240x240 px. Axial view. Head.
FLAIR MRI.
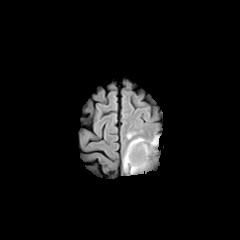
T1-weighted MR.
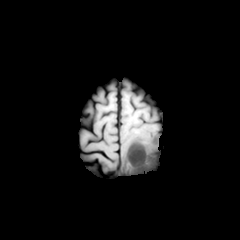
Post-contrast T1-weighted MRI.
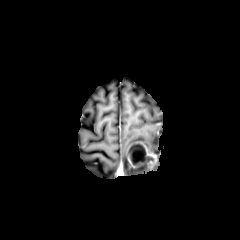
T2-weighted MR image.
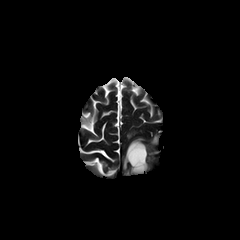
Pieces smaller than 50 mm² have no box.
{
  "peritumoral_edema": [
    "123:135:159:174",
    "126:131:136:139"
  ],
  "necrotic_tumor_core": [
    "131:150:145:164"
  ],
  "enhancing_tumor": [
    "126:141:150:167"
  ]
}